240x240 px
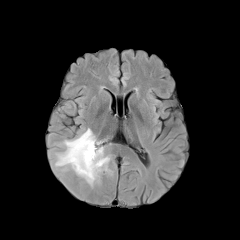
FLAIR MR image.
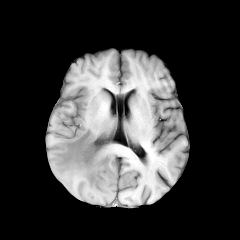
T1-weighted magnetic resonance of the same slice.
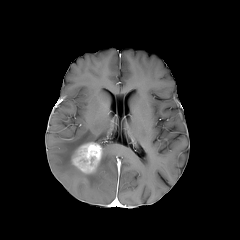
Post-contrast T1-weighted magnetic resonance of the same slice.
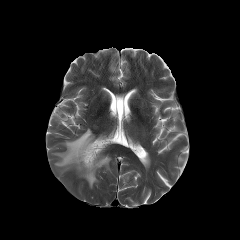
T2-weighted MRI.
The peritumoral edema is located at [55,128,110,186]. The enhancing tumor is at [72,141,101,174].